Brain, 240x240 px, Axial view, Slice 69/155
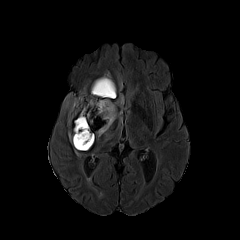
FLAIR MR image.
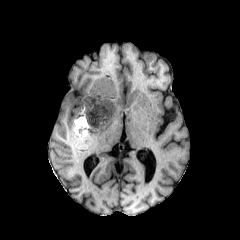
T1-weighted MRI.
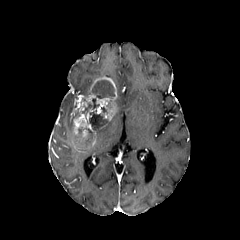
Post-contrast T1-weighted MR image of the same slice.
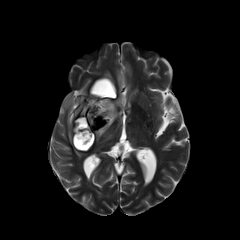
T2-weighted MR.
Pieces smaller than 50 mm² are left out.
necrotic_tumor_core:
  - region(76, 126, 92, 149)
  - region(88, 110, 107, 128)
  - region(81, 98, 99, 115)
  - region(92, 80, 114, 98)
peritumoral_edema:
  - region(96, 95, 124, 139)
  - region(68, 129, 81, 156)
  - region(63, 94, 73, 113)
enhancing_tumor:
  - region(73, 76, 117, 145)